Image width 240 mm.
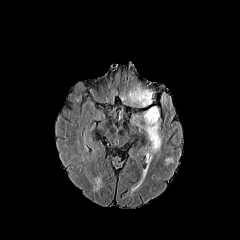
FLAIR magnetic resonance.
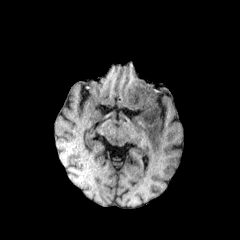
T1-weighted MR image.
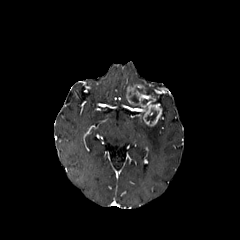
Post-contrast T1-weighted magnetic resonance.
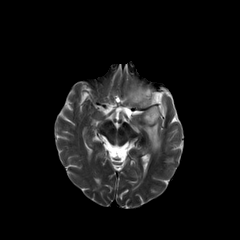
T2-weighted MR image.
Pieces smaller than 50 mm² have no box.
The 2 largest necrotic tumor core regions are located at rect(136, 88, 155, 97); rect(146, 109, 157, 123). The largest peritumoral edema region is located at rect(138, 121, 161, 152). The enhancing tumor is located at rect(126, 84, 161, 126).